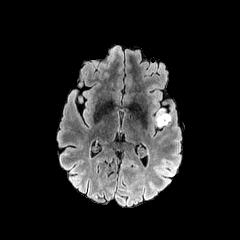
FLAIR MR.
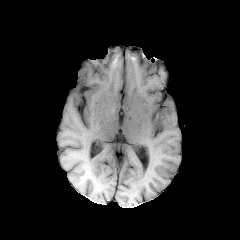
Same slice, T1-weighted MR image.
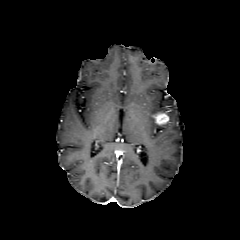
Post-contrast T1-weighted MR.
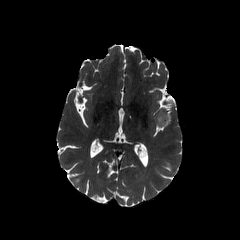
T2-weighted MRI.
Brain
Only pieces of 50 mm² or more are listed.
The enhancing tumor is located at <box>155,113,169,125</box>. The largest peritumoral edema region lies within <box>157,109,171,127</box>.